FLAIR MR image.
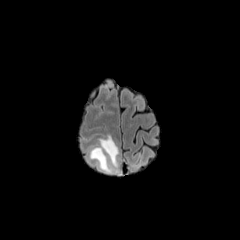
T1-weighted MRI.
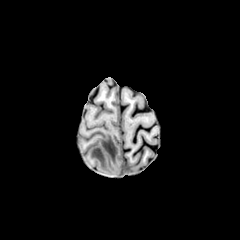
Post-contrast T1-weighted MR.
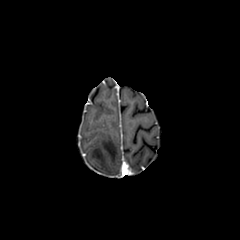
T2-weighted MR image.
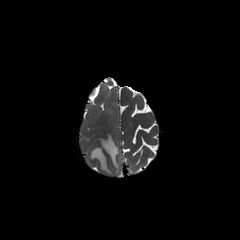
Axial plane. Brain.
<segmentation>
  <peritumoral_edema><bbox>89, 134, 119, 173</bbox></peritumoral_edema>
</segmentation>